Axial slice. Head. Slice index 39. Image size 240x240.
FLAIR MR.
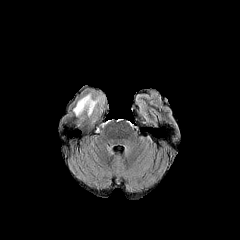
T1-weighted MR.
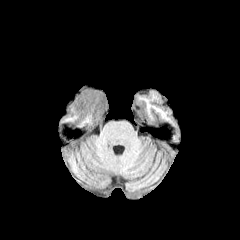
Post-contrast T1-weighted MR image.
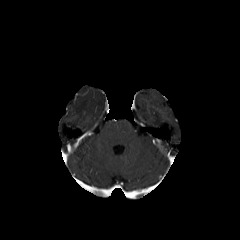
T2-weighted MR image.
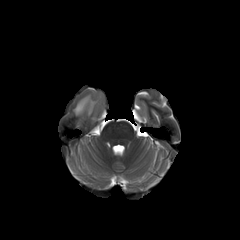
The peritumoral edema lies within (73,92,104,118).